240x240 | Brain
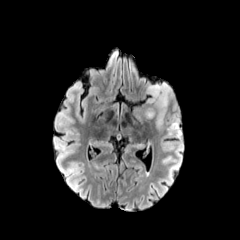
FLAIR MR image.
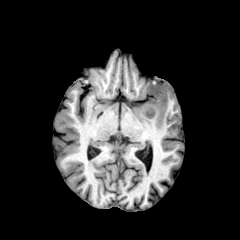
T1-weighted MR.
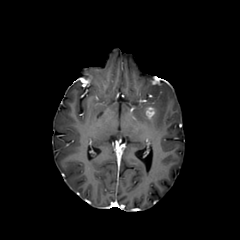
Post-contrast T1-weighted magnetic resonance.
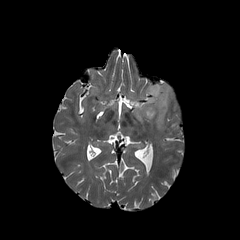
T2-weighted MR.
Findings:
• peritumoral edema: [x1=134, y1=83, x2=171, y2=128]
• enhancing tumor: [x1=146, y1=106, x2=155, y2=119]